Brain; Axial slice; Image width 240 mm; Slice index 121
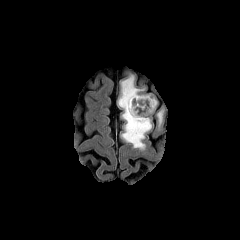
FLAIR magnetic resonance.
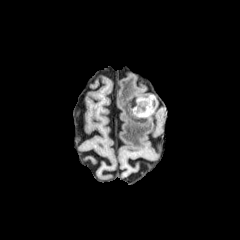
T1-weighted MR image.
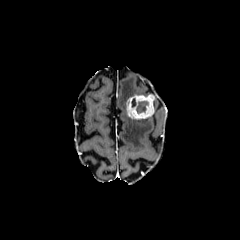
Post-contrast T1-weighted MR image.
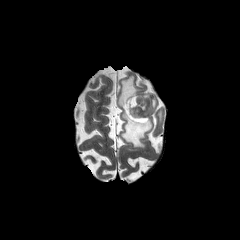
T2-weighted magnetic resonance.
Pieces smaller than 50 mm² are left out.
necrotic tumor core — {"x1": 136, "y1": 101, "x2": 147, "y2": 113}
enhancing tumor — {"x1": 126, "y1": 94, "x2": 154, "y2": 119}
peritumoral edema — {"x1": 118, "y1": 76, "x2": 151, "y2": 148}